Head | Slice 126 of 155
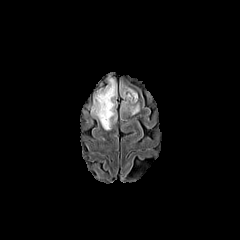
FLAIR MRI.
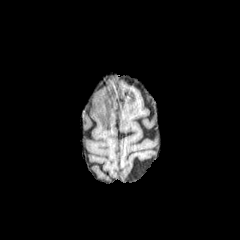
T1-weighted MR image.
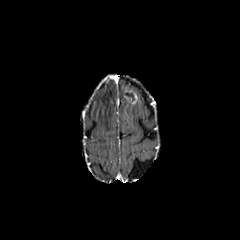
Same slice, post-contrast T1-weighted MR image.
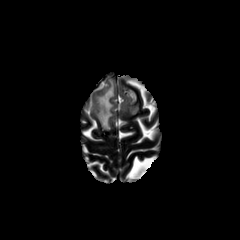
T2-weighted magnetic resonance.
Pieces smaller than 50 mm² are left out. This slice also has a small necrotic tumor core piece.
Segmented structures:
• peritumoral edema: (left=90, top=76, right=116, bottom=130), (left=128, top=104, right=139, bottom=114)
• enhancing tumor: (left=124, top=87, right=137, bottom=104)